Brain
FLAIR magnetic resonance.
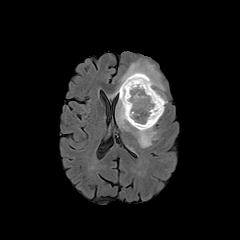
T1-weighted MR image.
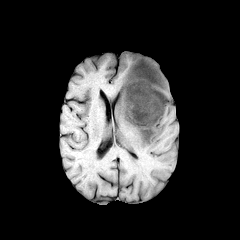
Post-contrast T1-weighted magnetic resonance.
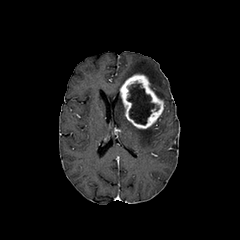
T2-weighted MR image.
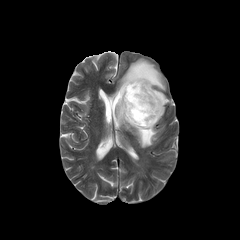
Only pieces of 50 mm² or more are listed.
The enhancing tumor is located at 120:74:164:128. The 2 largest peritumoral edema regions are bounded by 116:96:157:147, 108:59:166:104. The necrotic tumor core is located at 127:83:159:124.